Axial view. Head.
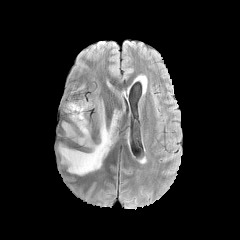
FLAIR MR image.
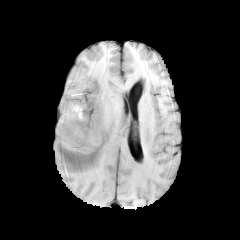
Same slice, T1-weighted magnetic resonance.
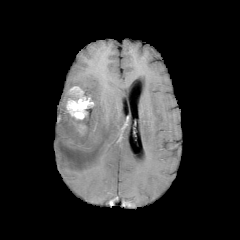
Post-contrast T1-weighted MRI.
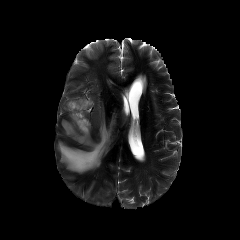
T2-weighted magnetic resonance.
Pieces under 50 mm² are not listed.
enhancing tumor — bbox(66, 87, 94, 120)
peritumoral edema — bbox(58, 100, 117, 174)